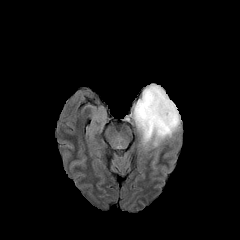
FLAIR MR.
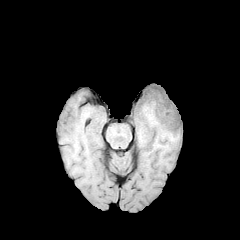
T1-weighted magnetic resonance of the same slice.
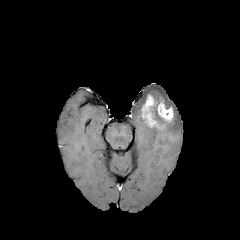
Post-contrast T1-weighted MR image.
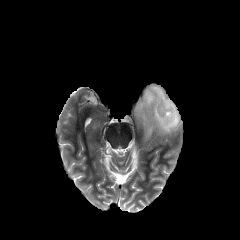
T2-weighted MR.
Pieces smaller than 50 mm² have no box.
enhancing tumor — box(141, 94, 174, 128)
peritumoral edema — box(132, 84, 181, 145)